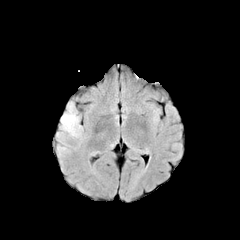
FLAIR magnetic resonance.
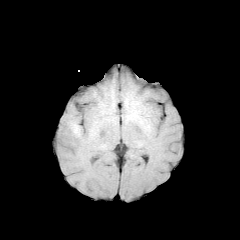
T1-weighted MRI.
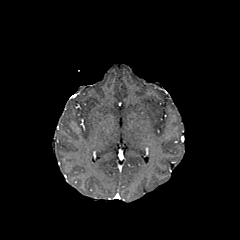
Post-contrast T1-weighted MR image.
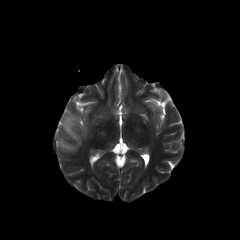
T2-weighted MR.
Axial view. Head.
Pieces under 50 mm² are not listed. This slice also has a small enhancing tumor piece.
<segmentation>
  <peritumoral_edema>57,101,83,155</peritumoral_edema>
</segmentation>